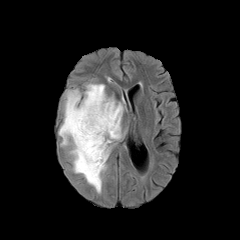
FLAIR MR image.
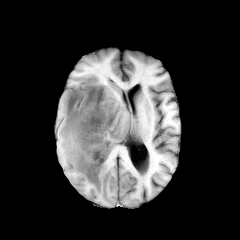
T1-weighted magnetic resonance.
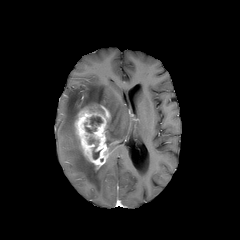
Post-contrast T1-weighted magnetic resonance of the same slice.
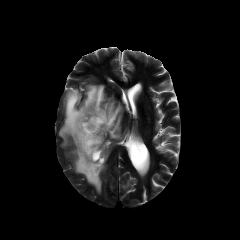
T2-weighted MRI of the same slice.
Axial slice. Head.
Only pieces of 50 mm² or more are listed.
The 2 largest necrotic tumor core regions are located at x1=93, y1=151, x2=99, y2=159; x1=90, y1=116, x2=102, y2=125. The peritumoral edema appears at x1=59, y1=84, x2=123, y2=193. The enhancing tumor lies within x1=74, y1=104, x2=110, y2=169.